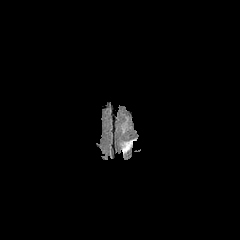
FLAIR magnetic resonance.
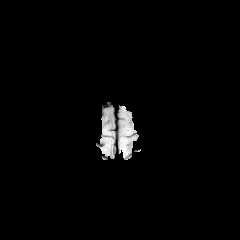
Same slice, T1-weighted MR.
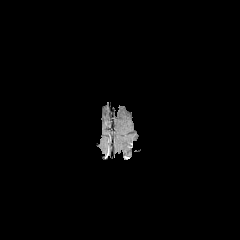
Post-contrast T1-weighted magnetic resonance of the same slice.
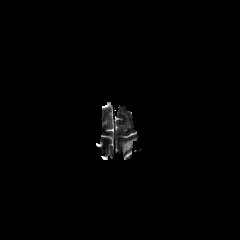
T2-weighted MRI.
Head
Segmented structures:
- peritumoral edema: 121 118 129 133, 120 138 136 154